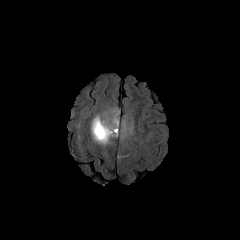
FLAIR MR image.
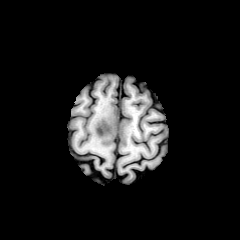
T1-weighted MRI of the same slice.
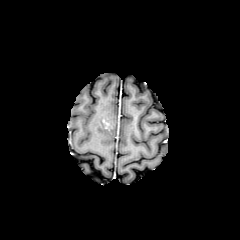
Same slice, post-contrast T1-weighted MRI.
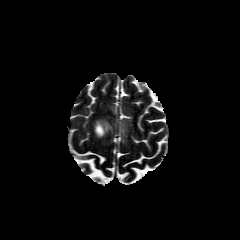
T2-weighted MRI.
Axial view
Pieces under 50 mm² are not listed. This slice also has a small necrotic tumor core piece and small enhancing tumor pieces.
Findings:
• peritumoral edema: box(122, 121, 131, 139); box(92, 110, 118, 143)